Image width 240 mm, 1.00 mm slice spacing; Axial slice
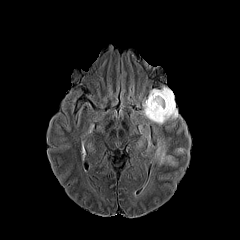
FLAIR MR image.
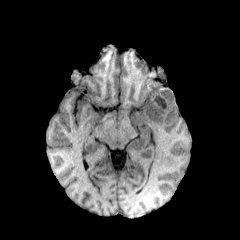
T1-weighted magnetic resonance of the same slice.
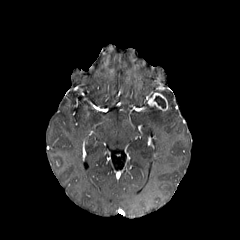
Post-contrast T1-weighted magnetic resonance of the same slice.
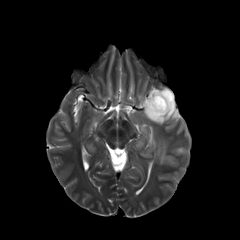
T2-weighted magnetic resonance.
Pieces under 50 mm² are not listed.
The 2 largest necrotic tumor core regions are located at rect(161, 90, 169, 98); rect(154, 96, 165, 108). The 2 largest peritumoral edema regions are located at rect(143, 87, 178, 124); rect(156, 142, 175, 164). The largest enhancing tumor region appears at rect(147, 92, 168, 111).